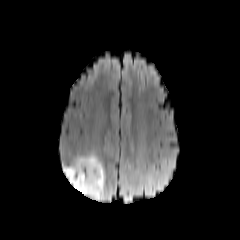
FLAIR MRI.
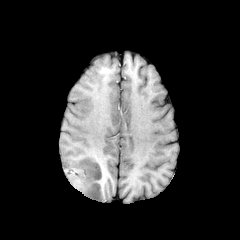
T1-weighted MRI.
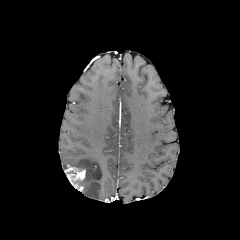
Post-contrast T1-weighted MR of the same slice.
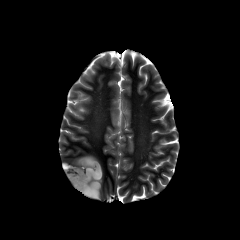
T2-weighted MR.
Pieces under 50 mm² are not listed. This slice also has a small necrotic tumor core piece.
The largest peritumoral edema region appears at bbox(72, 154, 104, 199). The enhancing tumor lies within bbox(64, 166, 85, 191).